FLAIR magnetic resonance.
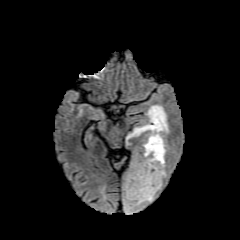
T1-weighted MRI.
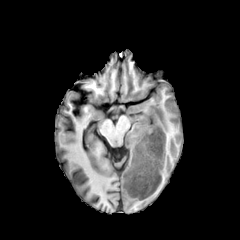
Post-contrast T1-weighted MR image.
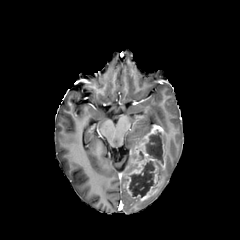
T2-weighted MR image.
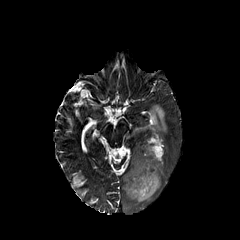
Brain; Axial plane
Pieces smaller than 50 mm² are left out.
Findings:
• enhancing tumor: 123, 125, 165, 201
• peritumoral edema: 126, 104, 169, 144; 159, 169, 166, 180; 122, 187, 155, 212
• necrotic tumor core: 129, 161, 155, 197; 145, 130, 163, 162